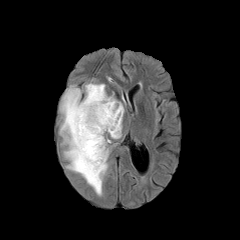
FLAIR MR image.
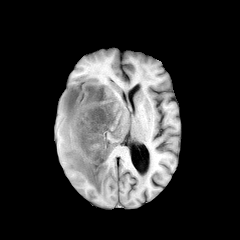
Same slice, T1-weighted MR.
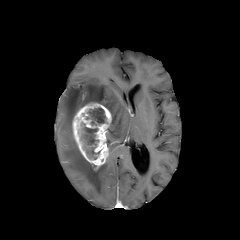
Post-contrast T1-weighted MR image of the same slice.
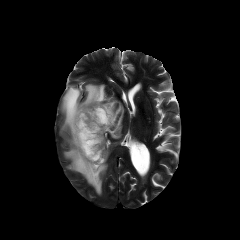
Same slice, T2-weighted MRI.
Brain, 240x240
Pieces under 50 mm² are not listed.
enhancing tumor at box=[72, 102, 111, 170]
peritumoral edema at box=[60, 83, 124, 195]
necrotic tumor core at box=[88, 108, 105, 124]; box=[84, 127, 97, 144]